FLAIR MRI.
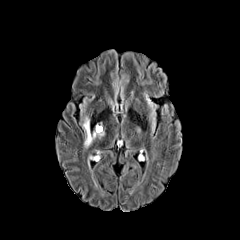
T1-weighted magnetic resonance.
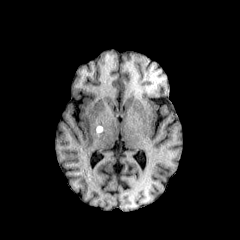
Post-contrast T1-weighted MR.
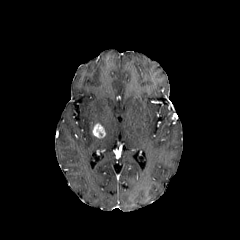
T2-weighted MRI.
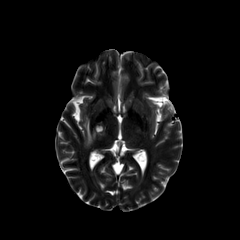
240x240, Axial view
enhancing tumor: box(92, 123, 105, 138)
peritumoral edema: box(83, 117, 96, 147)